Slice index 91, Brain
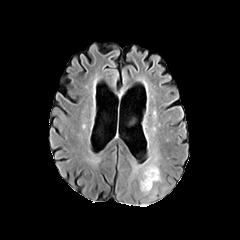
FLAIR magnetic resonance.
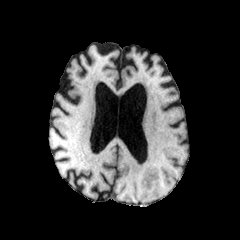
T1-weighted magnetic resonance.
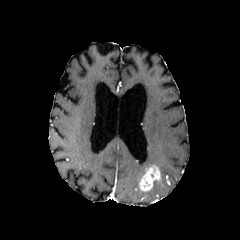
Same slice, post-contrast T1-weighted MRI.
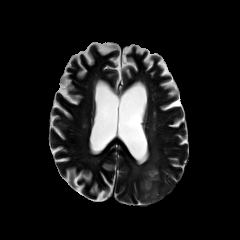
T2-weighted magnetic resonance.
peritumoral edema: (129, 151, 159, 181) | enhancing tumor: (139, 165, 160, 191)